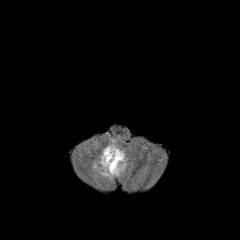
FLAIR MR image.
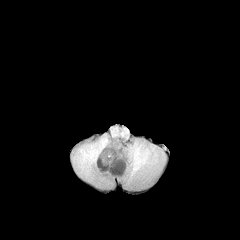
T1-weighted MR.
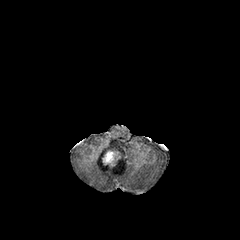
Post-contrast T1-weighted MR.
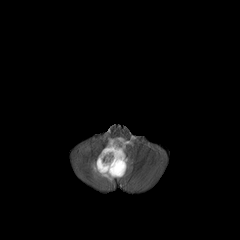
T2-weighted MRI.
Axial view.
enhancing_tumor:
  - (100,147,123,172)
peritumoral_edema:
  - (92,139,127,181)